Slice index 61; Brain; Axial view
FLAIR magnetic resonance.
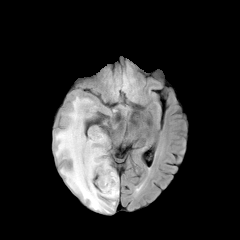
T1-weighted MR.
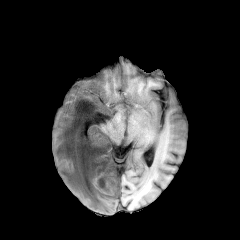
Post-contrast T1-weighted MRI.
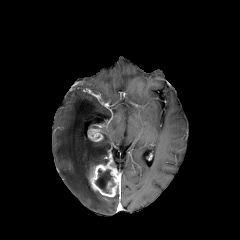
T2-weighted magnetic resonance.
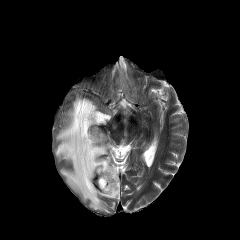
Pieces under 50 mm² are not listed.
{"necrotic_tumor_core": ["96, 169, 112, 192"], "enhancing_tumor": ["88, 151, 120, 197", "87, 125, 103, 141"], "peritumoral_edema": ["55, 94, 119, 213"]}